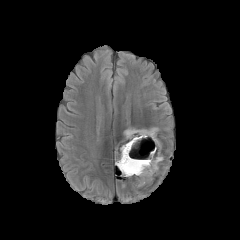
FLAIR MR image.
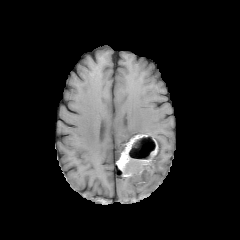
Same slice, T1-weighted MR image.
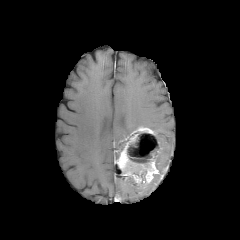
Post-contrast T1-weighted magnetic resonance.
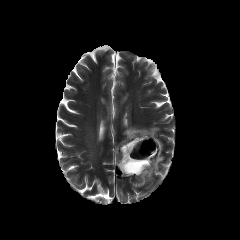
T2-weighted magnetic resonance.
Brain, 240x240
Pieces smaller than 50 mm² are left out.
<segmentation>
  <necrotic_tumor_core>bbox(125, 133, 159, 175)</necrotic_tumor_core>
  <enhancing_tumor>bbox(116, 127, 158, 186)</enhancing_tumor>
  <peritumoral_edema>bbox(124, 128, 135, 137); bbox(156, 149, 163, 169)</peritumoral_edema>
</segmentation>